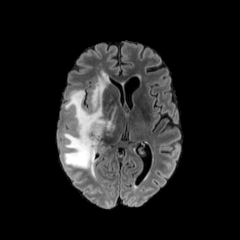
FLAIR MRI.
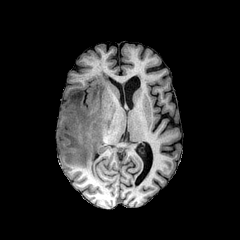
T1-weighted MR.
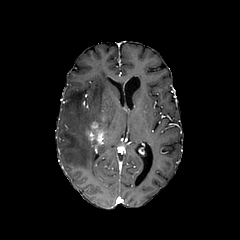
Same slice, post-contrast T1-weighted MR.
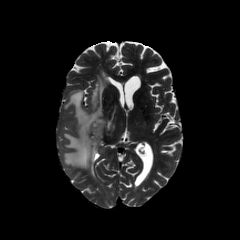
Same slice, T2-weighted MRI.
Brain
Annotated regions:
- enhancing tumor: (85, 121, 104, 144)
- peritumoral edema: (63, 73, 117, 175)